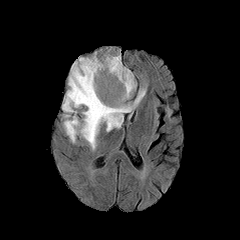
FLAIR MR image.
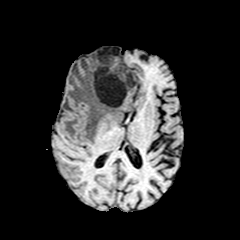
T1-weighted magnetic resonance of the same slice.
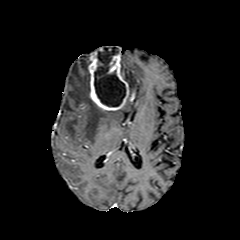
Post-contrast T1-weighted MR of the same slice.
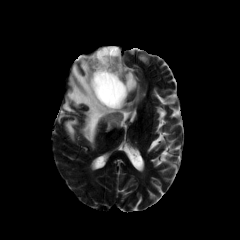
T2-weighted MR image of the same slice.
Brain. Axial view. Image size 240x240.
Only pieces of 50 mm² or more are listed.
Annotated regions:
- enhancing tumor: box(88, 47, 129, 110)
- peritumoral edema: box(62, 57, 145, 149); box(121, 60, 136, 98)
- necrotic tumor core: box(94, 46, 125, 106)